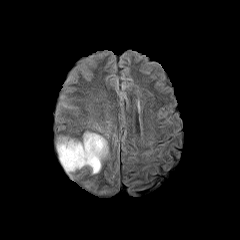
FLAIR MR image.
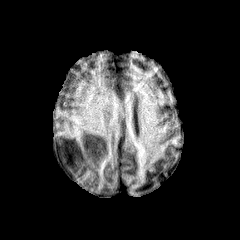
Same slice, T1-weighted MR.
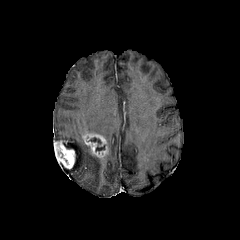
Post-contrast T1-weighted MR image.
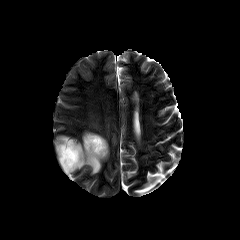
T2-weighted MRI of the same slice.
Axial slice.
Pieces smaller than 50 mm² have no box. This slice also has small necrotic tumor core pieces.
enhancing tumor = (x1=82, y1=132, x2=108, y2=159), (x1=54, y1=140, x2=76, y2=169)
peritumoral edema = (x1=58, y1=137, x2=101, y2=173)